FLAIR MR image.
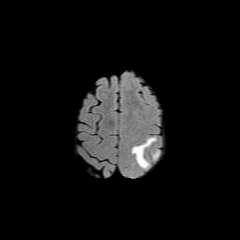
T1-weighted magnetic resonance.
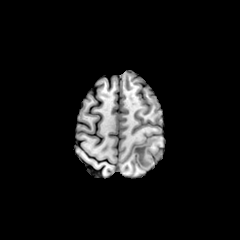
Post-contrast T1-weighted MR image.
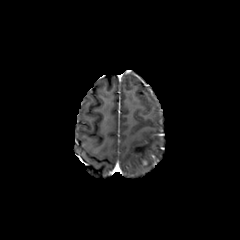
T2-weighted MR image.
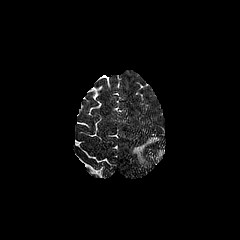
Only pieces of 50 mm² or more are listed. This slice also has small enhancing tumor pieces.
peritumoral edema: [x1=132, y1=137, x2=156, y2=168]